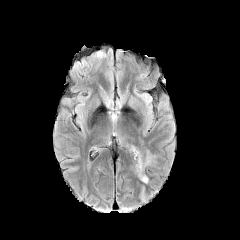
FLAIR MR image.
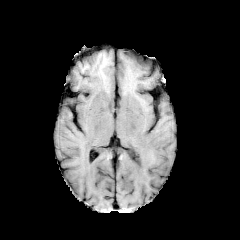
T1-weighted magnetic resonance.
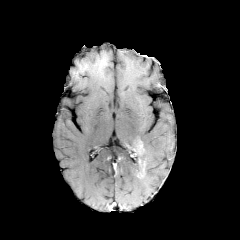
Post-contrast T1-weighted MRI of the same slice.
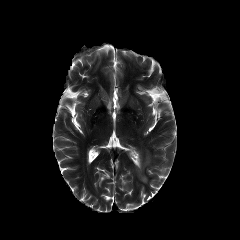
T2-weighted MR image.
240x240 px; Axial plane; Brain
peritumoral edema: box(133, 148, 150, 182)